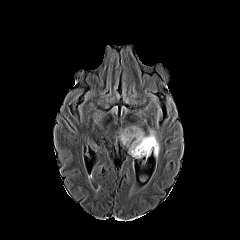
FLAIR MR.
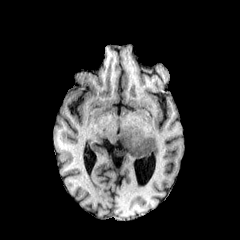
T1-weighted MR.
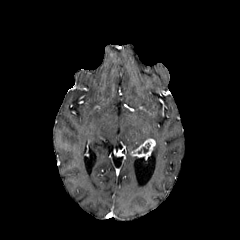
Post-contrast T1-weighted MRI.
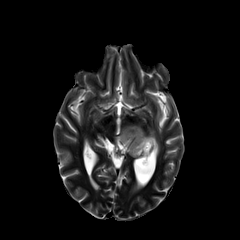
T2-weighted MR.
The enhancing tumor is bounded by box(130, 138, 155, 157). The peritumoral edema is located at box(119, 126, 159, 156). The necrotic tumor core appears at box(138, 143, 149, 153).